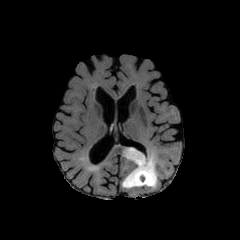
FLAIR MR.
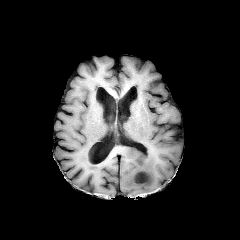
T1-weighted magnetic resonance.
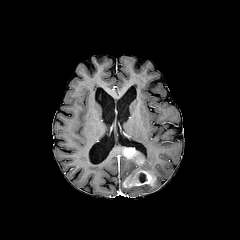
Same slice, post-contrast T1-weighted MRI.
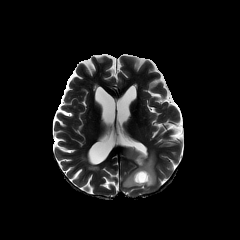
Same slice, T2-weighted MRI.
Axial view, Head
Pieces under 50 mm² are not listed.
{
  "peritumoral_edema": [
    "<bbox>122, 145, 158, 189</bbox>"
  ],
  "enhancing_tumor": [
    "<bbox>123, 168, 155, 187</bbox>",
    "<bbox>123, 148, 143, 165</bbox>"
  ],
  "necrotic_tumor_core": [
    "<bbox>138, 173, 146, 182</bbox>"
  ]
}